Slice 109 of 155; Axial plane
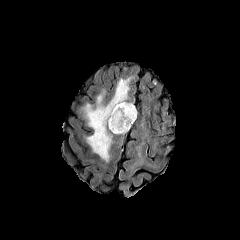
FLAIR MRI.
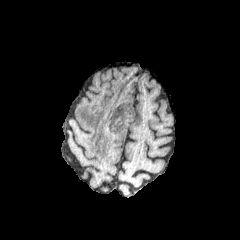
T1-weighted MR image.
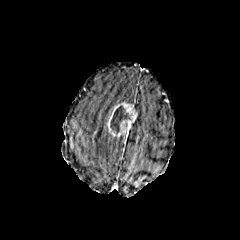
Post-contrast T1-weighted magnetic resonance.
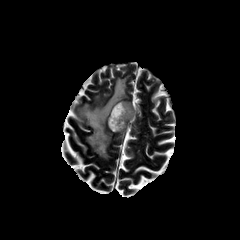
Same slice, T2-weighted MR.
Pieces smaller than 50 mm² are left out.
{
  "peritumoral_edema": [
    "x1=82, y1=79, x2=129, y2=161"
  ],
  "enhancing_tumor": [
    "x1=107, y1=102, x2=137, y2=136"
  ],
  "necrotic_tumor_core": [
    "x1=110, y1=106, x2=130, y2=133"
  ]
}